Slice 79/155; 240x240
FLAIR MR.
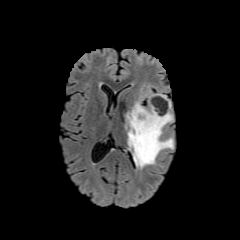
T1-weighted MRI.
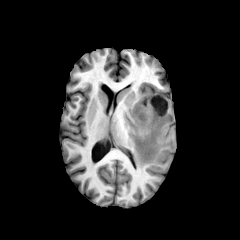
Post-contrast T1-weighted MR.
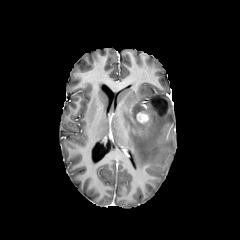
T2-weighted MR image.
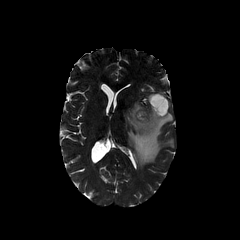
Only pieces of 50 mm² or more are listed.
peritumoral edema: {"x1": 125, "y1": 94, "x2": 173, "y2": 168}
enhancing tumor: {"x1": 137, "y1": 112, "x2": 148, "y2": 122}